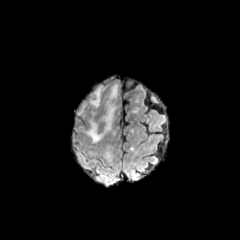
FLAIR MR image.
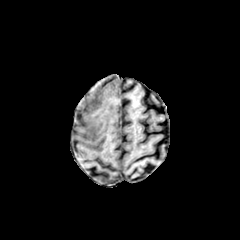
T1-weighted MR of the same slice.
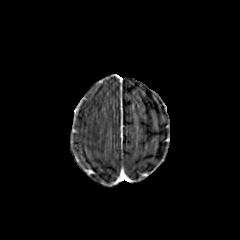
Post-contrast T1-weighted MR image.
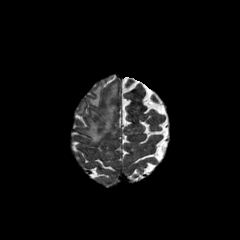
Same slice, T2-weighted MRI.
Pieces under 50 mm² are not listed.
The 3 largest peritumoral edema regions appear at 109:85:117:98, 86:101:115:142, 90:87:101:106.